Slice 70 of 155. Image size 240x240. Axial plane.
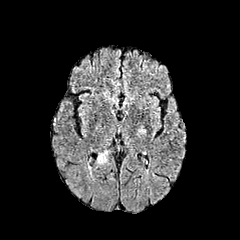
FLAIR MR.
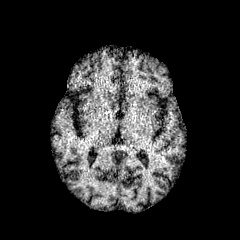
T1-weighted MR of the same slice.
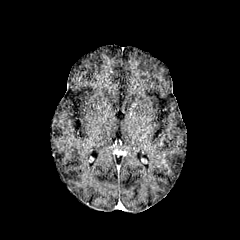
Post-contrast T1-weighted magnetic resonance of the same slice.
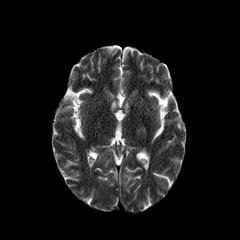
T2-weighted magnetic resonance of the same slice.
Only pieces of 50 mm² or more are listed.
* peritumoral edema: box=[97, 150, 107, 164]